Image size 240x240; Slice 46 of 155; Image covers 240 mm x 240 mm; Head
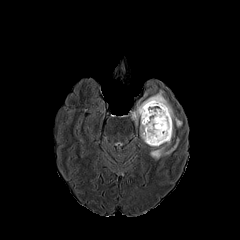
FLAIR MR image.
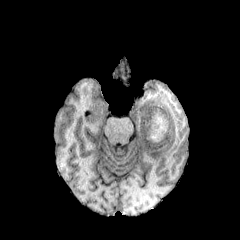
T1-weighted MR image.
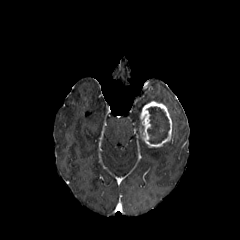
Same slice, post-contrast T1-weighted MRI.
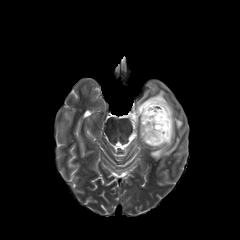
T2-weighted MR of the same slice.
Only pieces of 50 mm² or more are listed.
necrotic tumor core at [x1=147, y1=107, x2=169, y2=143]
enhancing tumor at [x1=139, y1=101, x2=172, y2=147]
peritumoral edema at [x1=131, y1=81, x2=183, y2=159]